FLAIR magnetic resonance.
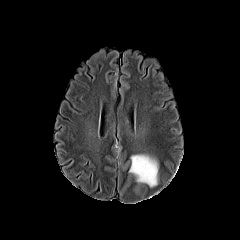
T1-weighted MR.
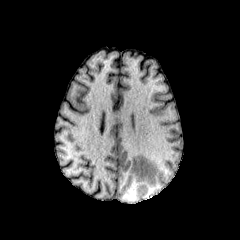
Post-contrast T1-weighted MR image.
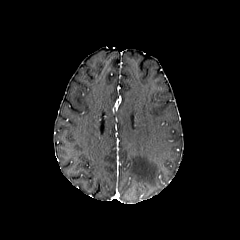
T2-weighted MRI.
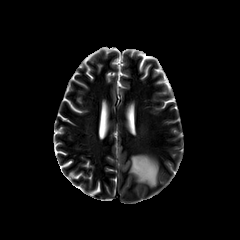
Axial slice
{"peritumoral_edema": ["left=129, top=154, right=158, bottom=186"]}